FLAIR MR image.
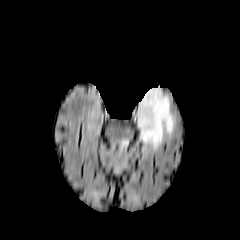
T1-weighted magnetic resonance.
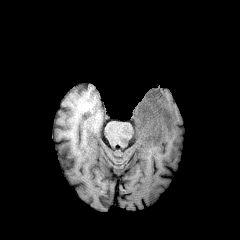
Post-contrast T1-weighted magnetic resonance.
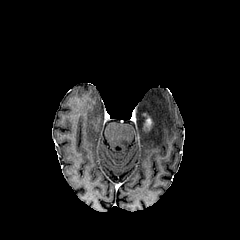
T2-weighted MR.
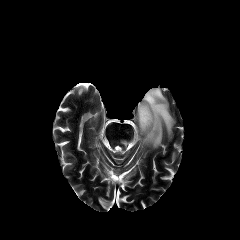
Brain.
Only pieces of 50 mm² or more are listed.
The enhancing tumor is bounded by 142, 113, 153, 130. The largest peritumoral edema region is located at 136, 88, 175, 148.